Axial slice; 240x240; Head; Slice 73 of 155
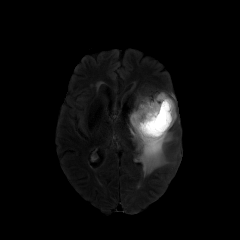
FLAIR MR image.
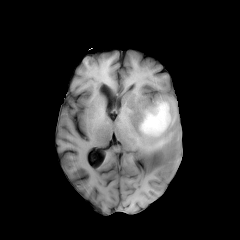
T1-weighted MR of the same slice.
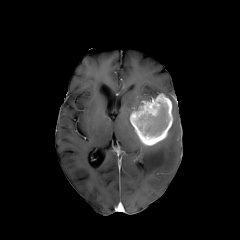
Post-contrast T1-weighted MR.
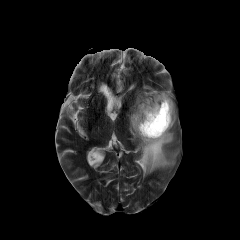
T2-weighted MRI of the same slice.
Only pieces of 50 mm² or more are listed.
necrotic tumor core = {"x1": 146, "y1": 106, "x2": 167, "y2": 133}
enhancing tumor = {"x1": 130, "y1": 93, "x2": 173, "y2": 145}
peritumoral edema = {"x1": 133, "y1": 91, "x2": 177, "y2": 126}, {"x1": 129, "y1": 122, "x2": 176, "y2": 177}